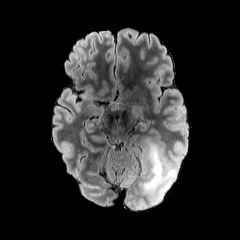
FLAIR MR image.
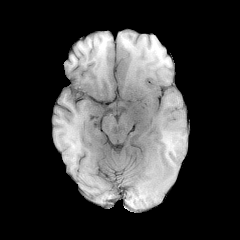
Same slice, T1-weighted MR.
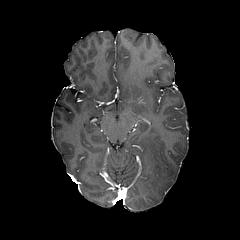
Post-contrast T1-weighted MR.
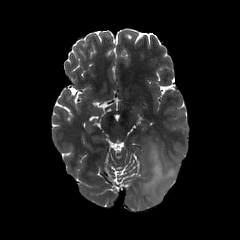
T2-weighted MR image of the same slice.
240x240; Axial plane
{
  "peritumoral_edema": [
    {"x1": 141, "y1": 137, "x2": 178, "y2": 206}
  ]
}